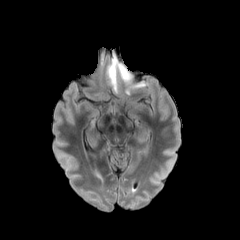
FLAIR MR image.
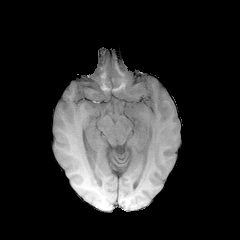
T1-weighted MR.
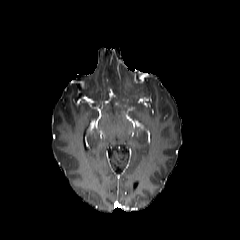
Post-contrast T1-weighted magnetic resonance.
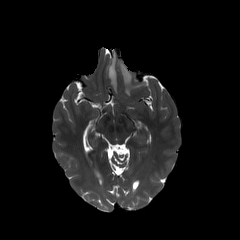
T2-weighted MR.
Brain. Axial view.
<segmentation>
  <peritumoral_edema>bbox(108, 55, 145, 94)</peritumoral_edema>
</segmentation>